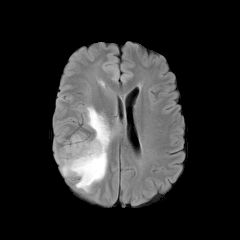
FLAIR magnetic resonance.
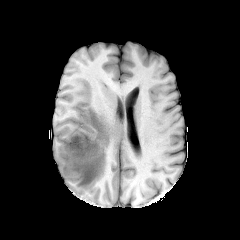
T1-weighted MRI of the same slice.
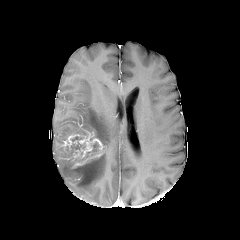
Post-contrast T1-weighted MRI of the same slice.
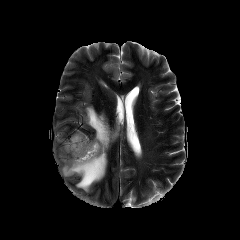
T2-weighted magnetic resonance.
240x240 px
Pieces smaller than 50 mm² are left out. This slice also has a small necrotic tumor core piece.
peritumoral edema: bbox=[57, 106, 117, 192] | enhancing tumor: bbox=[62, 134, 103, 168]